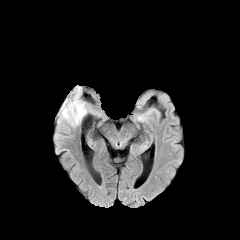
FLAIR MR image.
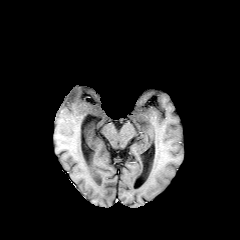
T1-weighted magnetic resonance.
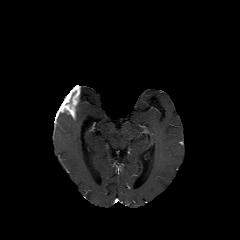
Post-contrast T1-weighted magnetic resonance.
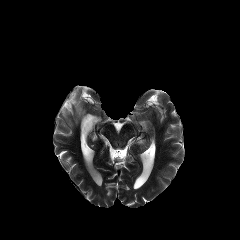
T2-weighted MR of the same slice.
Brain | Axial plane
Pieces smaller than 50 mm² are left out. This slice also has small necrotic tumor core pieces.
enhancing tumor: <bbox>55, 85, 80, 120</bbox>
peritumoral edema: <bbox>57, 99, 89, 126</bbox>